240x240 | Axial plane | Brain
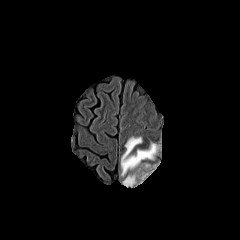
FLAIR MR image.
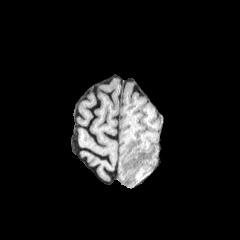
T1-weighted MR image of the same slice.
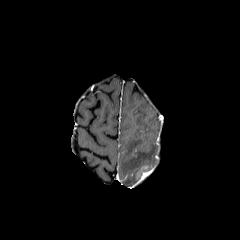
Post-contrast T1-weighted MR image.
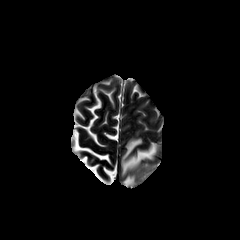
T2-weighted MRI.
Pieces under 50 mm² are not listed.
The enhancing tumor appears at box(136, 165, 151, 182). The 2 largest peritumoral edema regions are located at box(123, 172, 136, 186); box(121, 137, 157, 176).